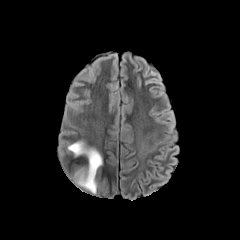
FLAIR MR image.
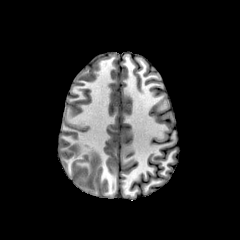
T1-weighted MR of the same slice.
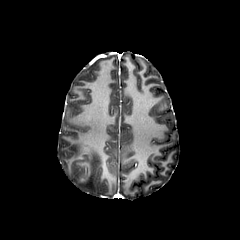
Post-contrast T1-weighted MR.
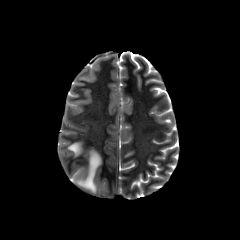
T2-weighted MRI of the same slice.
240x240 px, Brain
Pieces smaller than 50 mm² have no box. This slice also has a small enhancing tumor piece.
Segmented structures:
* peritumoral edema: l=68, t=141, r=102, b=193